Slice 125/155 | Axial view | Head
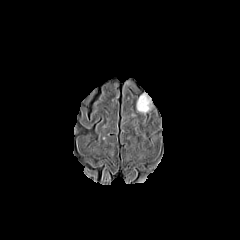
FLAIR magnetic resonance.
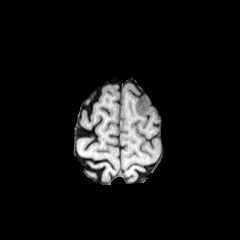
T1-weighted magnetic resonance.
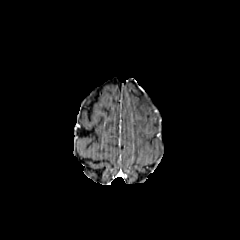
Post-contrast T1-weighted MRI of the same slice.
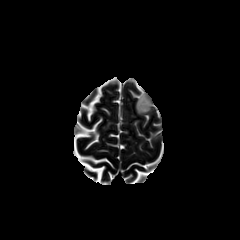
T2-weighted magnetic resonance.
peritumoral edema: bounding box box(136, 93, 151, 112)